Slice index 121; Axial plane
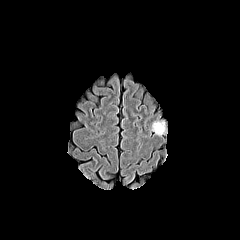
FLAIR MR.
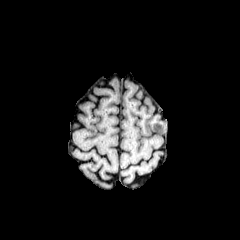
T1-weighted MR image of the same slice.
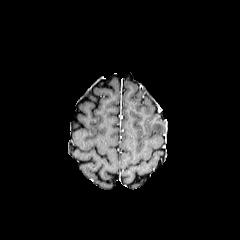
Same slice, post-contrast T1-weighted MRI.
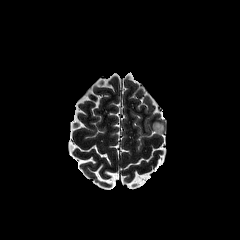
T2-weighted MR of the same slice.
peritumoral edema = bbox=[152, 122, 164, 134]